FLAIR magnetic resonance.
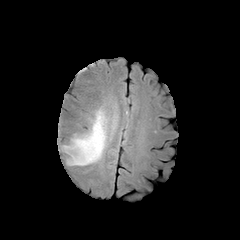
T1-weighted MR image.
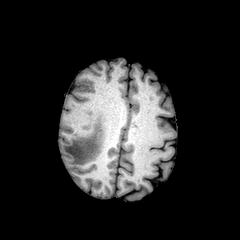
Post-contrast T1-weighted MRI.
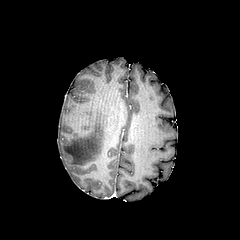
T2-weighted magnetic resonance.
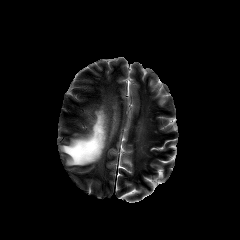
peritumoral edema: bounding box <box>62,108,107,165</box>